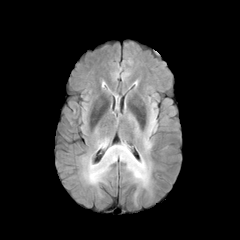
FLAIR MR image.
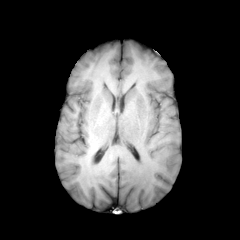
T1-weighted MRI.
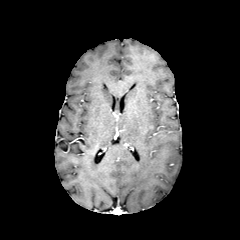
Post-contrast T1-weighted magnetic resonance.
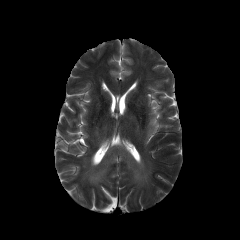
T2-weighted magnetic resonance.
<segmentation>
  <peritumoral_edema>99:139:108:147, 85:143:150:188, 148:113:156:134, 144:138:150:148</peritumoral_edema>
</segmentation>